Slice index 59 | Head | Image width 240 mm, 1.00 mm slice spacing
FLAIR MRI.
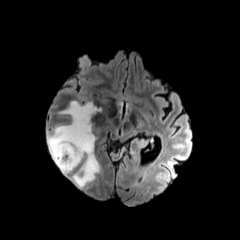
T1-weighted MR.
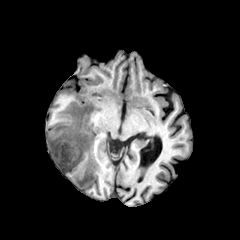
Post-contrast T1-weighted magnetic resonance.
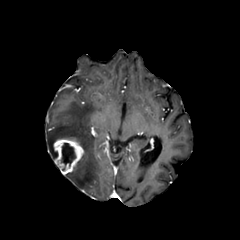
T2-weighted MR image.
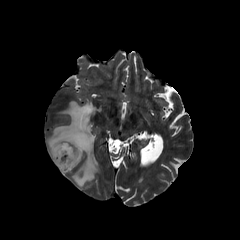
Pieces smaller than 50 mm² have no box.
necrotic tumor core: bounding box left=61, top=143, right=75, bottom=165
peritumoral edema: bounding box left=47, top=101, right=99, bottom=187
enhancing tumor: bounding box left=53, top=138, right=83, bottom=174